FLAIR MR image.
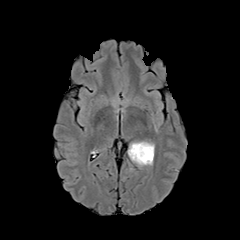
T1-weighted MRI.
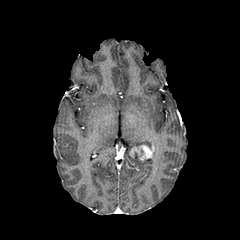
Post-contrast T1-weighted MR image.
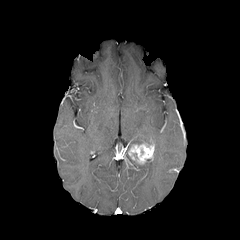
T2-weighted MRI.
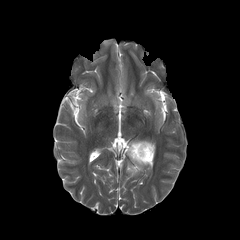
Axial plane. 240x240. Brain.
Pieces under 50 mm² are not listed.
The enhancing tumor appears at (128, 142, 154, 164). The 2 largest peritumoral edema regions are bounded by (129, 140, 154, 148), (131, 159, 153, 168).